240x240 px.
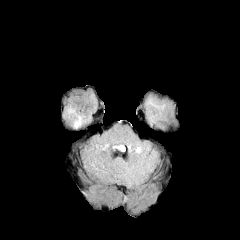
FLAIR MR image.
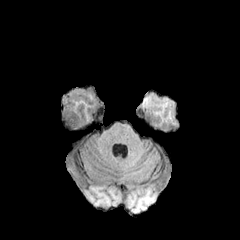
T1-weighted MRI of the same slice.
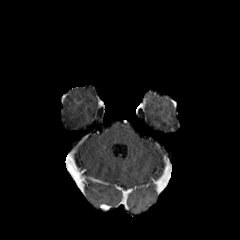
Same slice, post-contrast T1-weighted MRI.
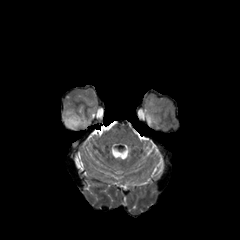
T2-weighted MR.
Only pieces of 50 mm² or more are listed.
Findings:
* peritumoral edema: x1=64 y1=107 x2=88 y2=127